240x240 px. Image covers 240 mm x 240 mm. Brain.
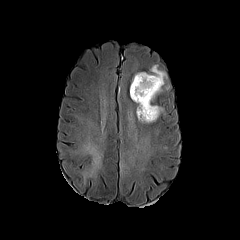
FLAIR magnetic resonance.
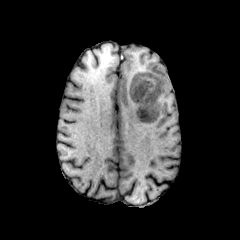
T1-weighted magnetic resonance.
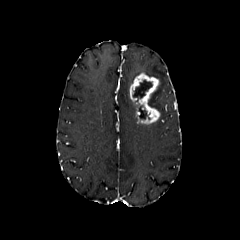
Post-contrast T1-weighted magnetic resonance.
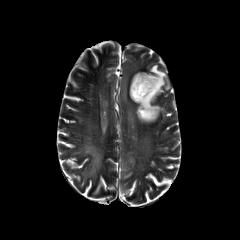
T2-weighted magnetic resonance of the same slice.
necrotic_tumor_core:
  - 133, 80, 152, 98
  - 139, 106, 147, 118
peritumoral_edema:
  - 132, 65, 169, 112
enhancing_tumor:
  - 129, 73, 160, 124